FLAIR MR image.
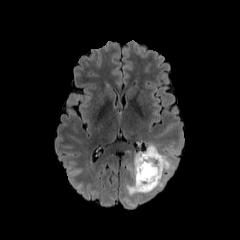
T1-weighted MR.
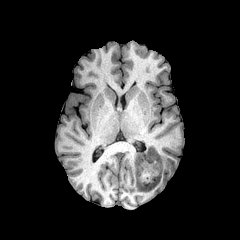
Post-contrast T1-weighted MRI.
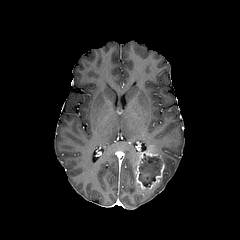
T2-weighted MR image.
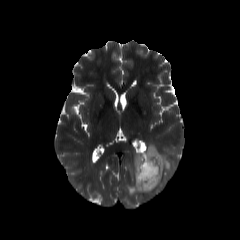
240x240. Axial slice.
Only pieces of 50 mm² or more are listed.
Findings:
• peritumoral edema: bbox(126, 143, 180, 196)
• necrotic tumor core: bbox(138, 154, 162, 187)
• enhancing tumor: bbox(134, 149, 164, 190)